Slice index 91 | 240x240 px | Axial plane
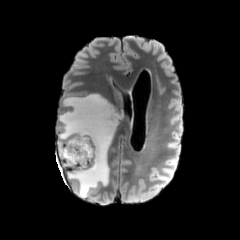
FLAIR magnetic resonance.
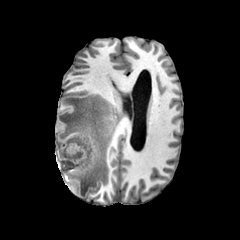
Same slice, T1-weighted magnetic resonance.
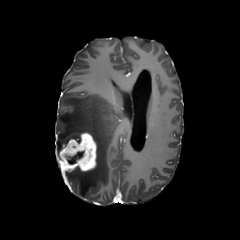
Same slice, post-contrast T1-weighted MRI.
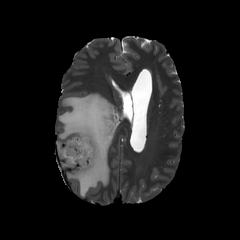
Same slice, T2-weighted magnetic resonance.
necrotic tumor core at l=66, t=151, r=83, b=164
enhancing tumor at l=58, t=132, r=97, b=171
peritumoral edema at l=57, t=93, r=119, b=197